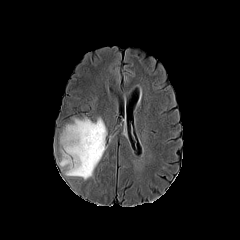
FLAIR magnetic resonance.
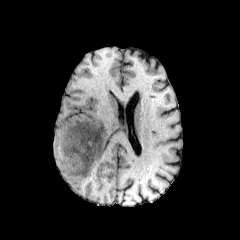
Same slice, T1-weighted MR.
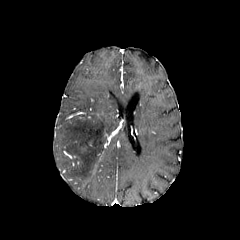
Post-contrast T1-weighted magnetic resonance of the same slice.
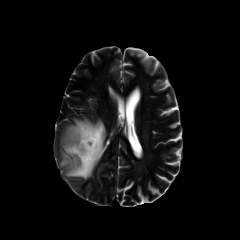
T2-weighted MR image of the same slice.
Image size 240x240; Axial plane
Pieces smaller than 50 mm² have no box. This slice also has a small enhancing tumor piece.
peritumoral edema — [x1=59, y1=118, x2=106, y2=179]